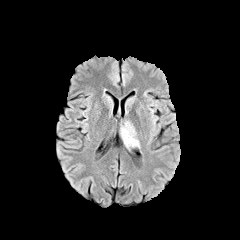
FLAIR MR image.
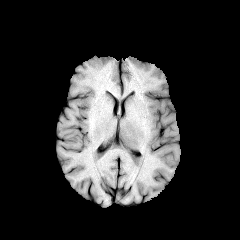
T1-weighted MRI.
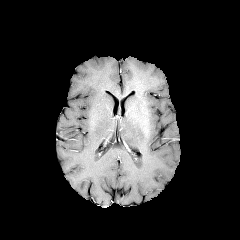
Post-contrast T1-weighted MR image of the same slice.
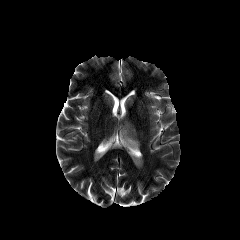
T2-weighted magnetic resonance.
Head
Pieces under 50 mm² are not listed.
peritumoral edema = [120,122,139,147]